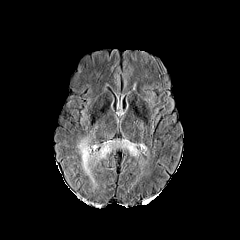
FLAIR magnetic resonance.
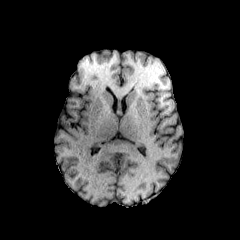
T1-weighted MRI.
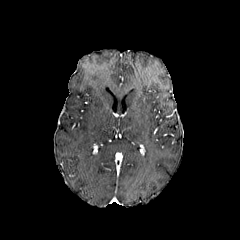
Post-contrast T1-weighted MR image.
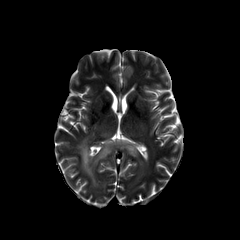
Same slice, T2-weighted magnetic resonance.
Axial view.
The peritumoral edema appears at x1=78, y1=138, x2=138, y2=177.